Brain
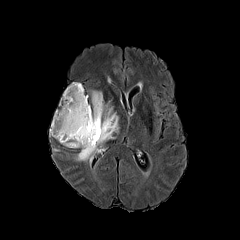
FLAIR MRI.
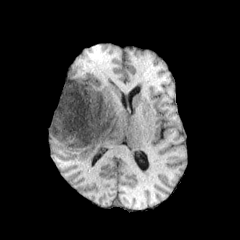
T1-weighted magnetic resonance of the same slice.
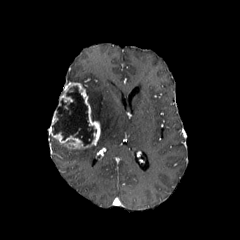
Post-contrast T1-weighted MR image of the same slice.
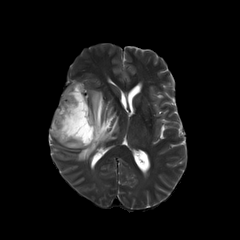
T2-weighted magnetic resonance of the same slice.
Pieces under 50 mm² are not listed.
necrotic tumor core at [52,86,96,145]
peritumoral edema at [76,90,119,162]
enhancing tumor at [49,82,100,149]